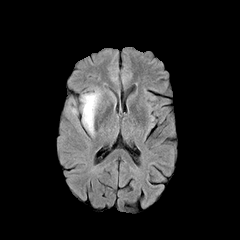
FLAIR MR image.
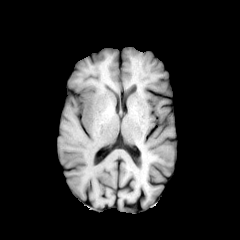
T1-weighted magnetic resonance of the same slice.
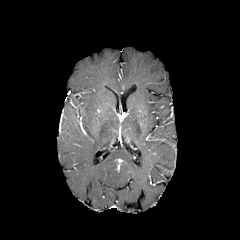
Post-contrast T1-weighted MR of the same slice.
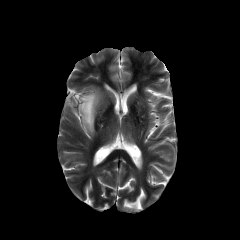
T2-weighted magnetic resonance.
Head | Axial view
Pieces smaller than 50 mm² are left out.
The largest peritumoral edema region is at x1=80 y1=89 x2=101 y2=134.